240x240
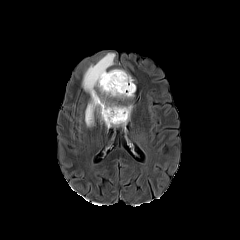
FLAIR MR image.
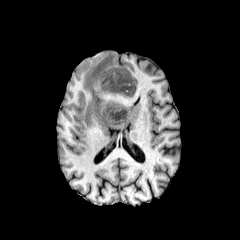
T1-weighted MRI of the same slice.
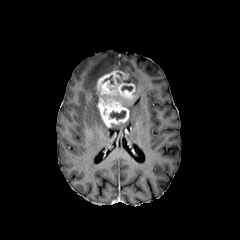
Same slice, post-contrast T1-weighted magnetic resonance.
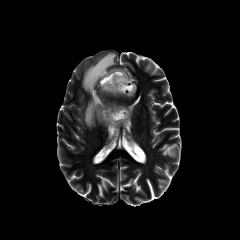
Same slice, T2-weighted MR.
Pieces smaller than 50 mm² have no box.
peritumoral_edema:
  - 82:53:115:126
necrotic_tumor_core:
  - 110:111:125:119
enhancing_tumor:
  - 96:70:135:127